FLAIR magnetic resonance.
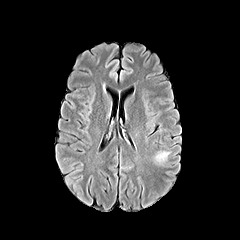
T1-weighted magnetic resonance.
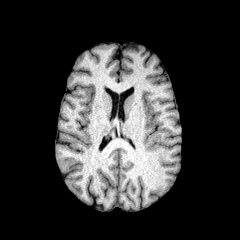
Post-contrast T1-weighted MR.
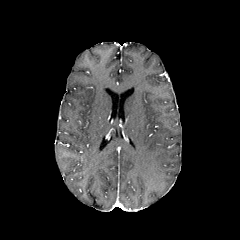
T2-weighted MR image.
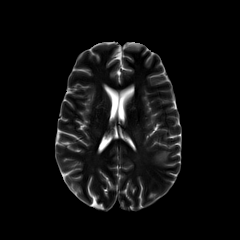
Axial slice; 240x240 px
peritumoral edema = [156,151,170,161]